FLAIR magnetic resonance.
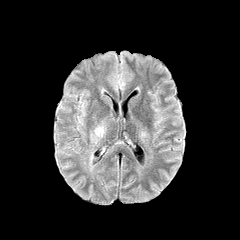
T1-weighted magnetic resonance.
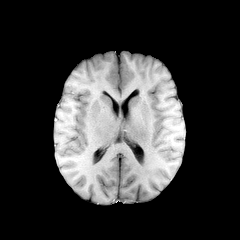
Post-contrast T1-weighted magnetic resonance.
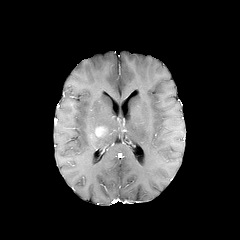
T2-weighted magnetic resonance.
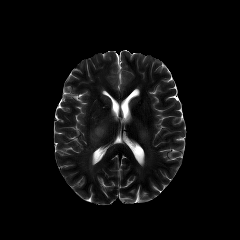
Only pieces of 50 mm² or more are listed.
The largest peritumoral edema region is bounded by [x1=91, y1=130, x2=103, y2=142]. The enhancing tumor is bounded by [x1=95, y1=127, x2=105, y2=136].